FLAIR MR image.
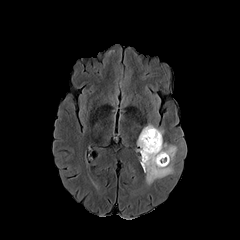
T1-weighted MR image.
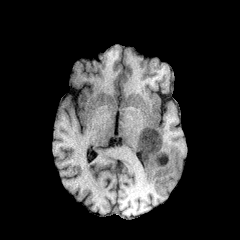
Post-contrast T1-weighted MR.
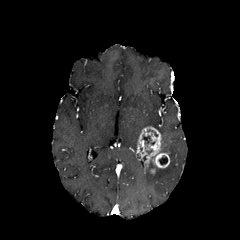
T2-weighted MRI.
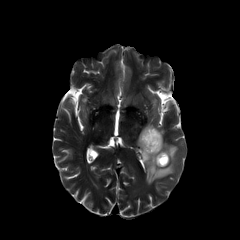
Axial view
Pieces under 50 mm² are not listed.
- necrotic tumor core: {"x1": 159, "y1": 157, "x2": 167, "y2": 164}
- enhancing tumor: {"x1": 137, "y1": 126, "x2": 169, "y2": 174}
- peritumoral edema: {"x1": 144, "y1": 143, "x2": 177, "y2": 184}, {"x1": 147, "y1": 124, "x2": 163, "y2": 140}